FLAIR MR image.
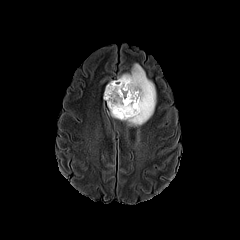
T1-weighted MR image.
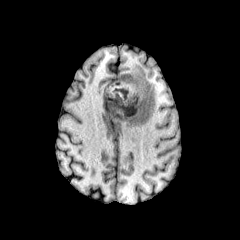
Post-contrast T1-weighted magnetic resonance.
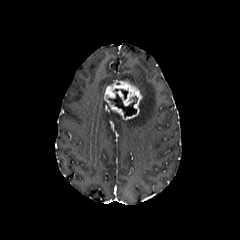
T2-weighted MR image.
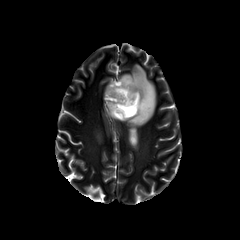
Axial view; Brain
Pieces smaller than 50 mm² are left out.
{"necrotic_tumor_core": ["[x1=108, y1=93, x2=137, y2=117]", "[x1=113, y1=89, x2=128, y2=99]"], "enhancing_tumor": ["[x1=104, y1=80, x2=142, y2=119]"], "peritumoral_edema": ["[x1=112, y1=63, x2=156, y2=126]"]}